FLAIR MR image.
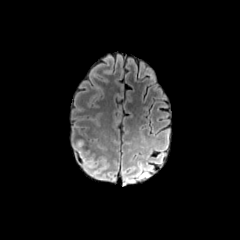
T1-weighted MR.
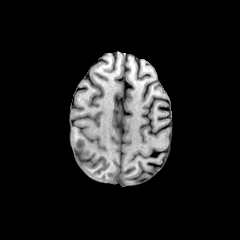
Post-contrast T1-weighted MR image.
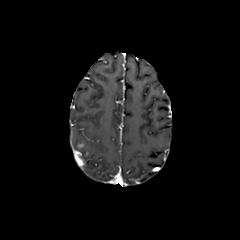
T2-weighted MRI.
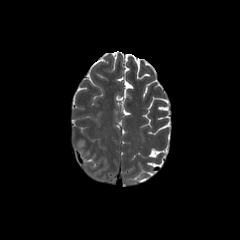
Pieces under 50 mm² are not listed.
2 peritumoral edema regions appear at 82:147:91:165, 73:139:84:147. The largest enhancing tumor region appears at 74:143:84:164.